Slice index 94; Image width 240 mm; Axial slice; 240x240 px; Head
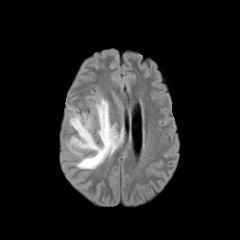
FLAIR magnetic resonance.
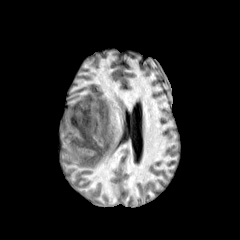
T1-weighted magnetic resonance.
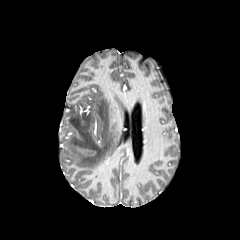
Post-contrast T1-weighted MR image.
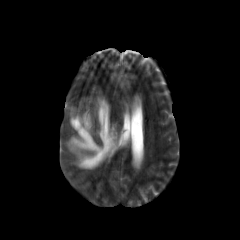
Same slice, T2-weighted MR image.
Annotated regions:
* peritumoral edema: box(69, 98, 122, 169)